Axial view; Head
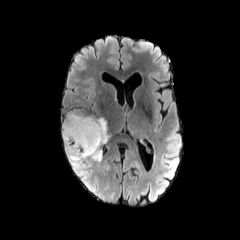
FLAIR MR image.
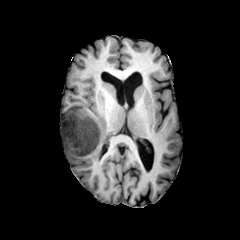
T1-weighted MRI of the same slice.
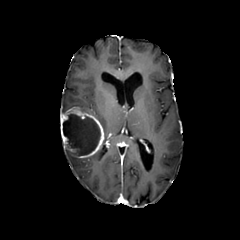
Post-contrast T1-weighted MRI.
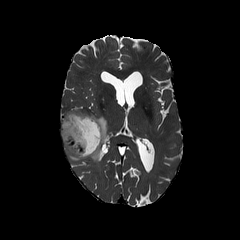
T2-weighted magnetic resonance of the same slice.
{"necrotic_tumor_core": ["rect(63, 113, 100, 156)"], "peritumoral_edema": ["rect(97, 117, 111, 143)", "rect(65, 150, 86, 168)", "rect(88, 148, 102, 161)"], "enhancing_tumor": ["rect(60, 107, 104, 158)"]}